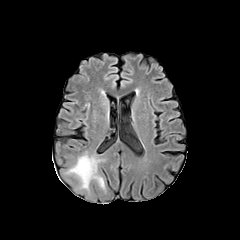
FLAIR MR image.
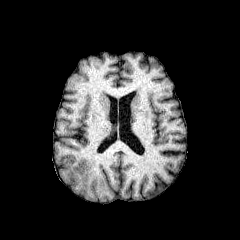
T1-weighted MR.
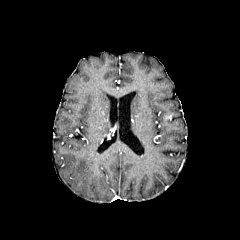
Post-contrast T1-weighted MR.
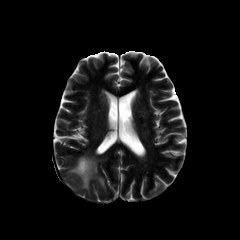
T2-weighted MR.
Axial slice; Brain
{"peritumoral_edema": ["rect(69, 155, 104, 188)"]}